Slice 88/155 | Brain
FLAIR MRI.
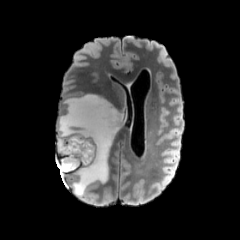
T1-weighted MRI.
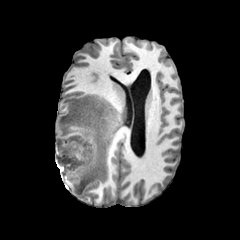
Post-contrast T1-weighted MRI.
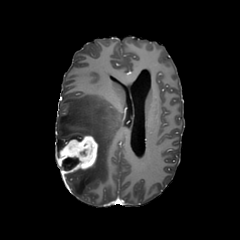
T2-weighted MR.
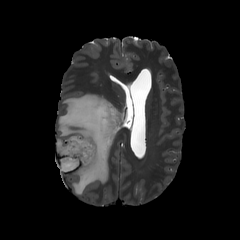
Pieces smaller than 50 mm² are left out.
{
  "enhancing_tumor": [
    "l=56, t=134, r=98, b=173"
  ],
  "necrotic_tumor_core": [
    "l=61, t=157, r=79, b=170"
  ],
  "peritumoral_edema": [
    "l=56, t=94, r=124, b=197"
  ]
}